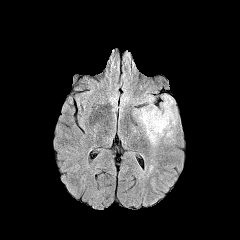
FLAIR MR image.
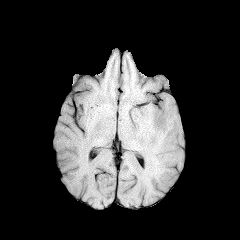
T1-weighted MRI.
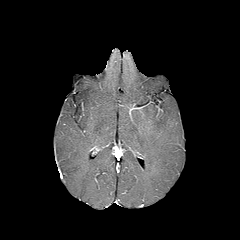
Post-contrast T1-weighted MR image.
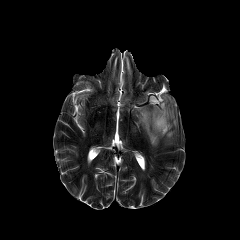
Same slice, T2-weighted MR.
Head
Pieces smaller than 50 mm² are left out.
The largest peritumoral edema region appears at (left=135, top=95, right=177, bottom=145).